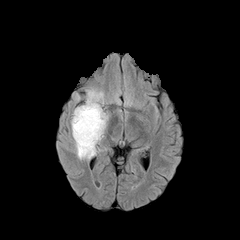
FLAIR MRI.
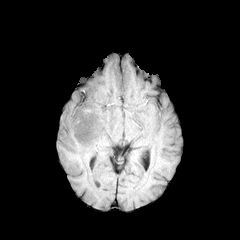
T1-weighted magnetic resonance of the same slice.
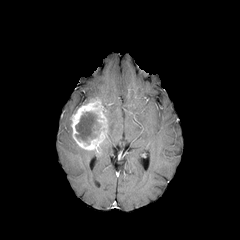
Post-contrast T1-weighted MR of the same slice.
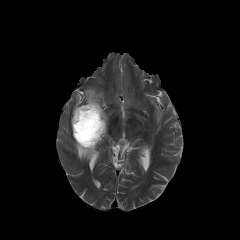
T2-weighted MR.
Axial slice.
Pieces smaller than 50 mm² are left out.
<segmentation>
  <peritumoral_edema>x1=86, y1=88, x2=104, y2=107; x1=74, y1=140, x2=98, y2=159</peritumoral_edema>
  <necrotic_tumor_core>x1=75, y1=112, x2=99, y2=141</necrotic_tumor_core>
  <enhancing_tumor>x1=70, y1=98, x2=106, y2=152</enhancing_tumor>
</segmentation>